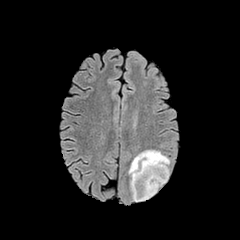
FLAIR MR image.
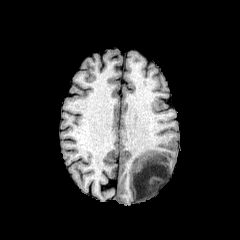
T1-weighted MRI.
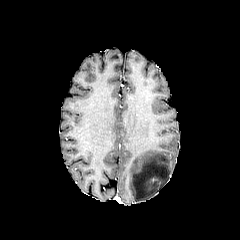
Same slice, post-contrast T1-weighted MR image.
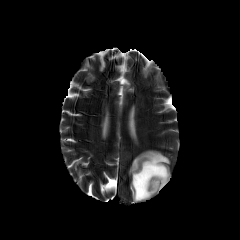
T2-weighted MRI.
Axial view.
peritumoral edema = bbox(128, 150, 169, 201)